FLAIR MR.
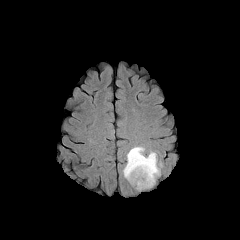
T1-weighted MR image.
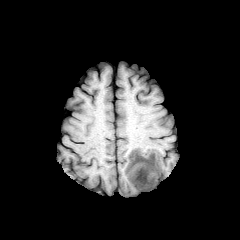
Post-contrast T1-weighted MR image.
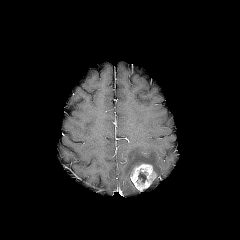
T2-weighted MRI.
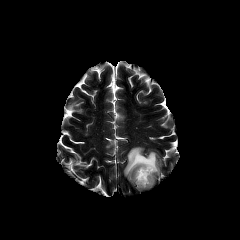
Brain
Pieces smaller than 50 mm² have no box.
The largest peritumoral edema region is at bbox(123, 146, 162, 185). The necrotic tumor core is located at bbox(138, 172, 146, 182). The enhancing tumor lies within bbox(130, 163, 156, 190).